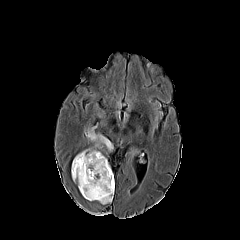
FLAIR MR image.
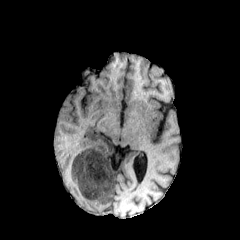
T1-weighted MRI of the same slice.
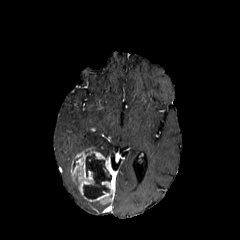
Post-contrast T1-weighted MR.
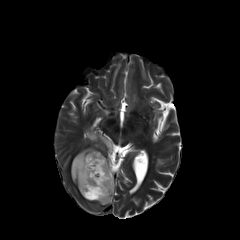
Same slice, T2-weighted MR image.
Head; Axial view
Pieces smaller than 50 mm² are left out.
{
  "peritumoral_edema": [
    "region(85, 129, 112, 151)"
  ],
  "necrotic_tumor_core": [
    "region(83, 154, 111, 199)"
  ],
  "enhancing_tumor": [
    "region(71, 147, 115, 204)"
  ]
}